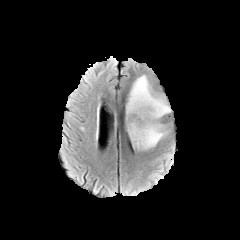
FLAIR MR image.
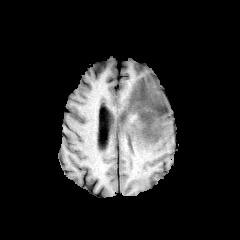
T1-weighted MR.
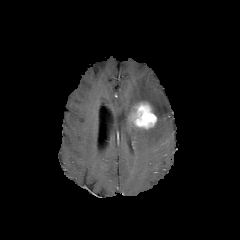
Same slice, post-contrast T1-weighted magnetic resonance.
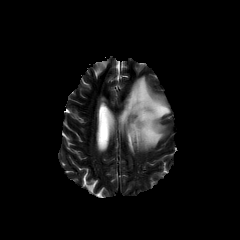
Same slice, T2-weighted MR.
Brain; Axial view
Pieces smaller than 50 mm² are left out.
{
  "enhancing_tumor": [
    {"x1": 130, "y1": 102, "x2": 157, "y2": 129}
  ],
  "peritumoral_edema": [
    {"x1": 125, "y1": 75, "x2": 170, "y2": 150}
  ]
}